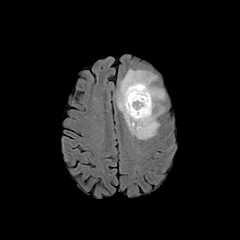
FLAIR MR.
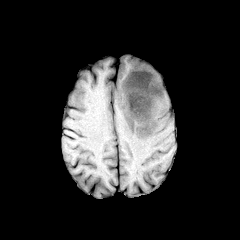
T1-weighted magnetic resonance of the same slice.
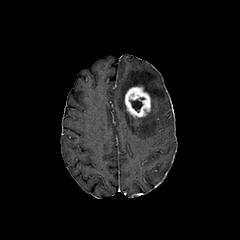
Post-contrast T1-weighted MR image.
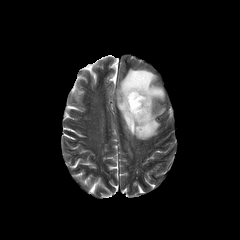
T2-weighted MRI of the same slice.
Axial plane | 240x240
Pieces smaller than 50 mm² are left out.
necrotic tumor core = 130:100:142:112
enhancing tumor = 124:85:151:118
peritumoral edema = 117:69:164:139